Image size 240x240, Axial plane, Brain
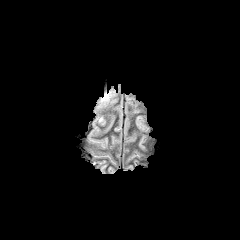
FLAIR magnetic resonance.
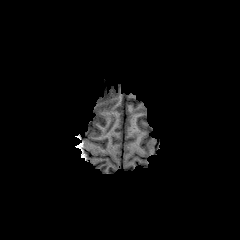
T1-weighted MR image of the same slice.
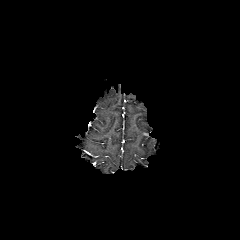
Same slice, post-contrast T1-weighted MRI.
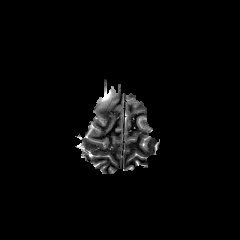
Same slice, T2-weighted MR image.
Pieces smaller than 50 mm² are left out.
Findings:
* peritumoral edema: bbox(99, 90, 115, 105)